FLAIR MRI.
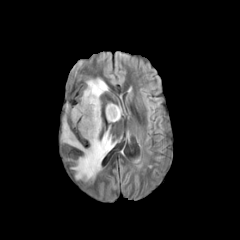
T1-weighted MR image.
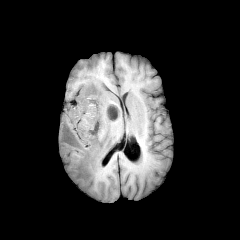
Post-contrast T1-weighted MR.
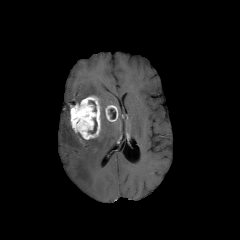
T2-weighted MR.
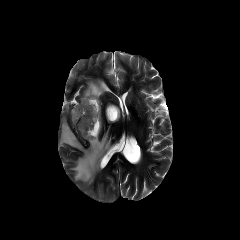
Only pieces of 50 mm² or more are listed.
peritumoral edema: 61, 117, 114, 181; 81, 78, 108, 99 | necrotic tumor core: 110, 109, 115, 118; 89, 118, 97, 133 | enhancing tumor: 70, 95, 101, 139; 105, 105, 118, 121